240x240 px. Slice 55 of 155.
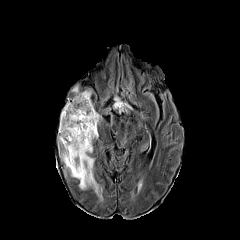
FLAIR MR.
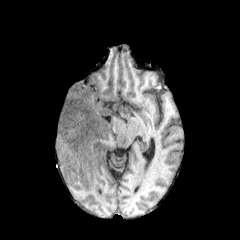
T1-weighted MR image of the same slice.
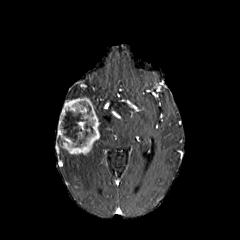
Post-contrast T1-weighted MR of the same slice.
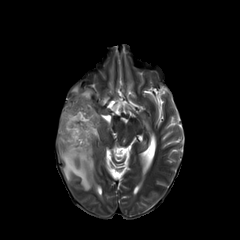
T2-weighted magnetic resonance.
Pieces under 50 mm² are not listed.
necrotic tumor core: (75, 131, 88, 146), (62, 111, 87, 142) | peritumoral edema: (58, 138, 98, 193), (72, 86, 91, 100) | enhancing tumor: (57, 96, 99, 155)